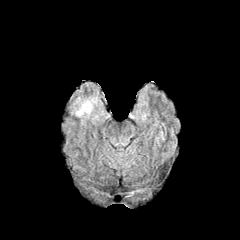
FLAIR magnetic resonance.
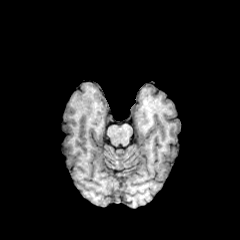
T1-weighted MR image of the same slice.
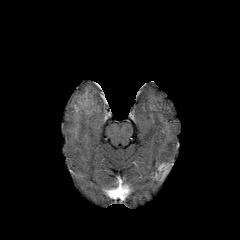
Post-contrast T1-weighted magnetic resonance.
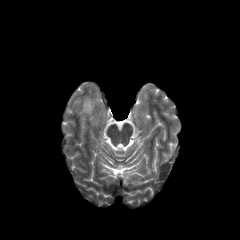
T2-weighted magnetic resonance of the same slice.
240x240.
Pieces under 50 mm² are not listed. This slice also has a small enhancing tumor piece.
The peritumoral edema appears at (left=72, top=93, right=105, bottom=124).